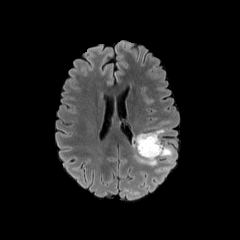
FLAIR MR image.
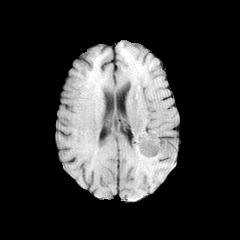
T1-weighted MR image.
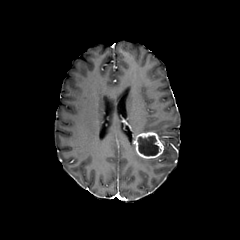
Post-contrast T1-weighted MR.
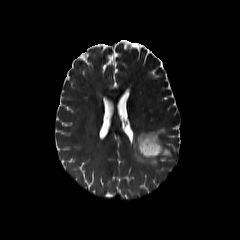
T2-weighted MRI.
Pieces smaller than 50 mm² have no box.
{"enhancing_tumor": ["134,132,163,159"], "necrotic_tumor_core": ["137,136,158,155"], "peritumoral_edema": ["148,128,165,137", "132,135,173,166"]}